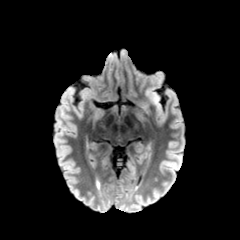
FLAIR MR image.
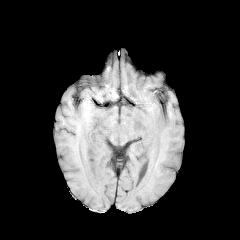
T1-weighted MRI.
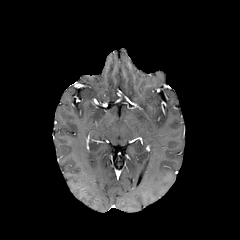
Post-contrast T1-weighted MRI.
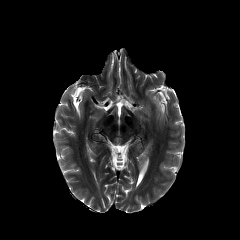
T2-weighted magnetic resonance of the same slice.
Axial view | 240x240 px
peritumoral edema: box=[152, 96, 159, 109]